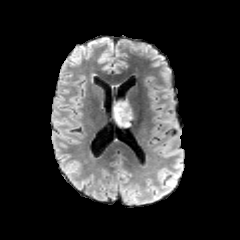
FLAIR MRI.
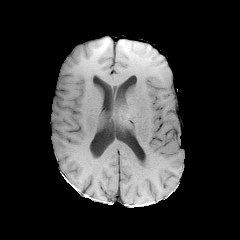
T1-weighted MRI of the same slice.
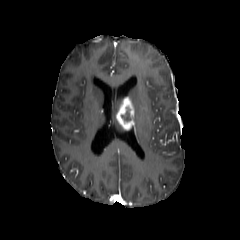
Post-contrast T1-weighted MR image.
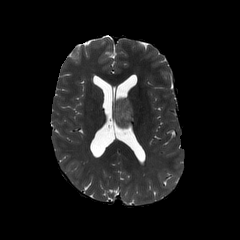
T2-weighted MR image.
Axial slice
{"enhancing_tumor": ["[116, 97, 135, 129]"], "peritumoral_edema": ["[114, 98, 124, 118]"], "necrotic_tumor_core": ["[121, 109, 130, 120]"]}